Image covers 240 mm x 240 mm. 240x240 px. Brain.
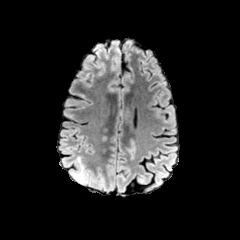
FLAIR MR.
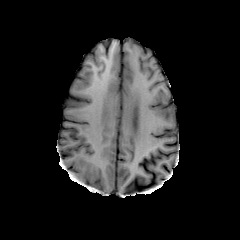
T1-weighted MR.
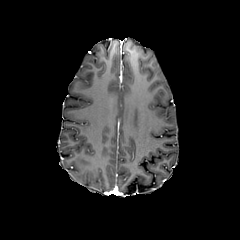
Post-contrast T1-weighted MR.
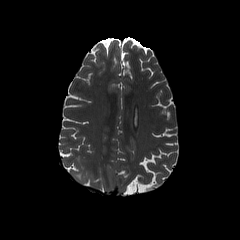
T2-weighted MR of the same slice.
peritumoral edema at box=[71, 156, 91, 183]